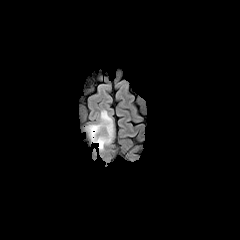
FLAIR MRI.
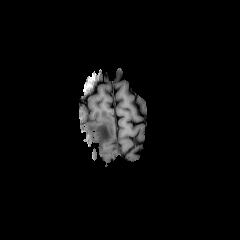
T1-weighted MR image.
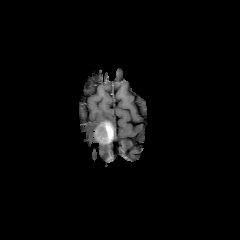
Same slice, post-contrast T1-weighted MR image.
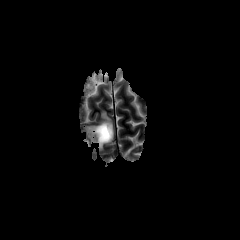
Same slice, T2-weighted MR.
Image size 240x240.
The enhancing tumor is bounded by x1=94 y1=121 x2=114 y2=144. 2 peritumoral edema regions are bounded by x1=98 y1=142 x2=111 y2=151, x1=84 y1=110 x2=115 y2=142.